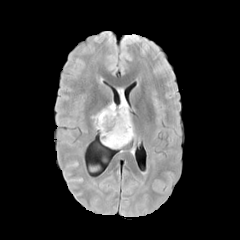
FLAIR MR image.
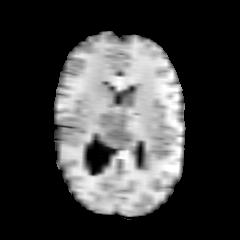
T1-weighted MR of the same slice.
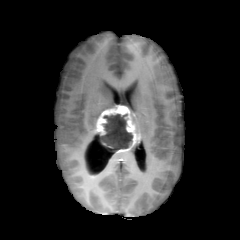
Post-contrast T1-weighted MR image of the same slice.
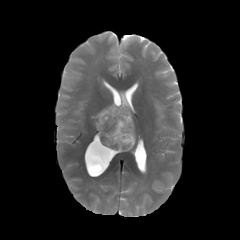
T2-weighted MR of the same slice.
Head
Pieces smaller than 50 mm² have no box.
The necrotic tumor core is bounded by (left=100, top=114, right=132, bottom=150). The largest enhancing tumor region appears at (left=95, top=105, right=139, bottom=151). The 2 largest peritumoral edema regions appear at (left=91, top=102, right=115, bottom=127), (left=120, top=91, right=131, bottom=110).